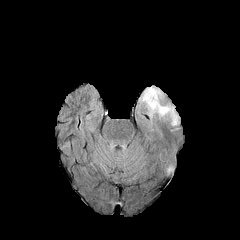
FLAIR magnetic resonance.
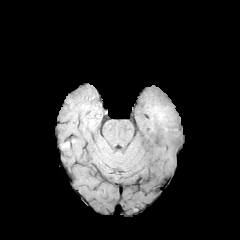
T1-weighted MR image of the same slice.
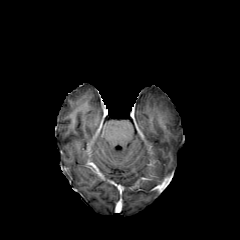
Post-contrast T1-weighted magnetic resonance of the same slice.
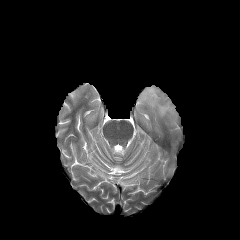
T2-weighted MR.
Axial view
peritumoral edema: bounding box (141,87,177,124)